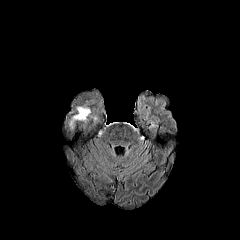
FLAIR magnetic resonance.
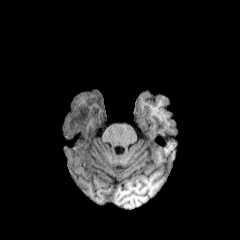
T1-weighted magnetic resonance.
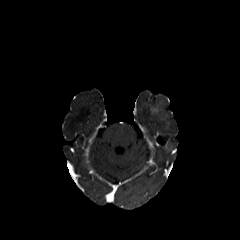
Post-contrast T1-weighted MR image of the same slice.
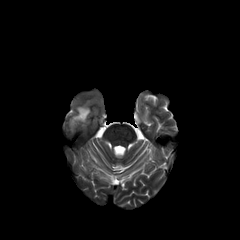
T2-weighted MRI of the same slice.
Head
The peritumoral edema is at 69,106,90,129.